Slice 92 of 155
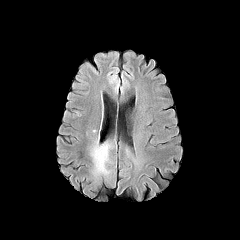
FLAIR MR image.
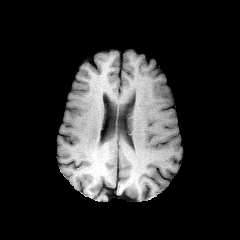
T1-weighted magnetic resonance.
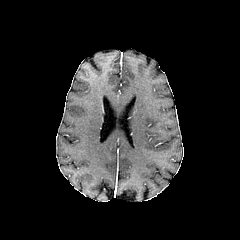
Post-contrast T1-weighted MRI.
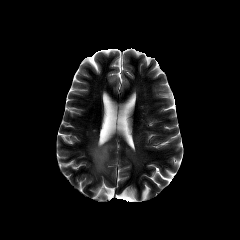
Same slice, T2-weighted MR image.
peritumoral edema: bounding box x1=93, y1=146, x2=108, y2=173